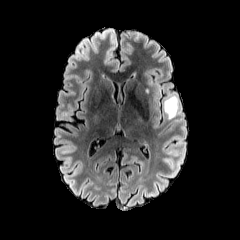
FLAIR MRI.
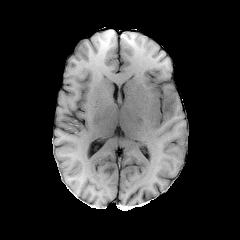
Same slice, T1-weighted magnetic resonance.
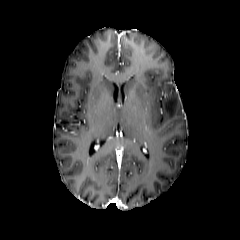
Same slice, post-contrast T1-weighted MR image.
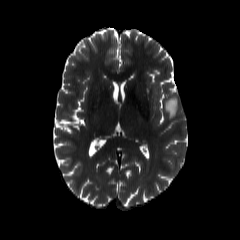
T2-weighted magnetic resonance of the same slice.
Brain.
The peritumoral edema is located at (164,93,178,119).